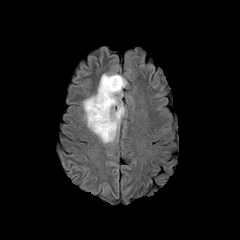
FLAIR magnetic resonance.
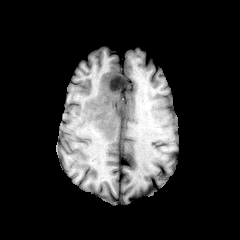
T1-weighted MRI of the same slice.
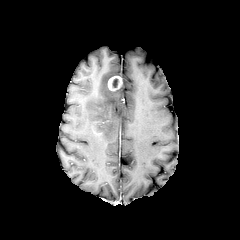
Post-contrast T1-weighted MRI.
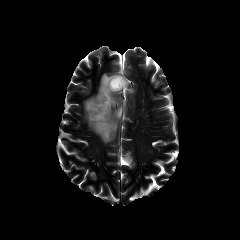
Same slice, T2-weighted MRI.
Image size 240x240. Brain. Axial slice.
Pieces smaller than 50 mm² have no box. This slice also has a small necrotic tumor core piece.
enhancing tumor = region(108, 76, 122, 91)
peritumoral edema = region(83, 73, 127, 143)